Slice 61 of 155 | Brain
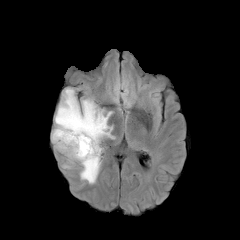
FLAIR MR image.
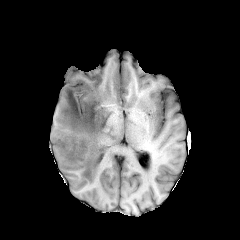
T1-weighted magnetic resonance of the same slice.
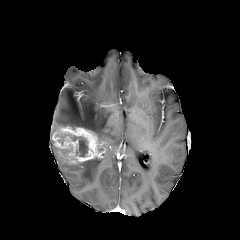
Post-contrast T1-weighted magnetic resonance of the same slice.
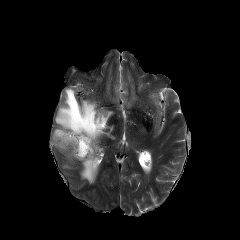
T2-weighted magnetic resonance.
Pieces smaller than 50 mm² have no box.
<segmentation>
  <enhancing_tumor>rect(52, 126, 104, 164)</enhancing_tumor>
  <peritumoral_edema>rect(53, 88, 115, 143); rect(62, 159, 72, 168); rect(79, 158, 100, 183)</peritumoral_edema>
  <necrotic_tumor_core>rect(72, 136, 87, 157)</necrotic_tumor_core>
</segmentation>